Axial view, Slice 43/155, Image width 240 mm
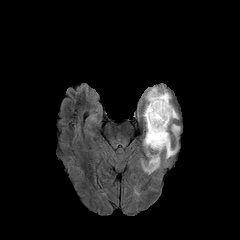
FLAIR MR image.
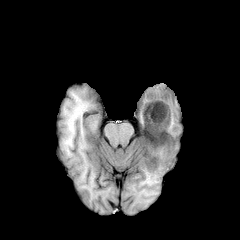
T1-weighted MR image of the same slice.
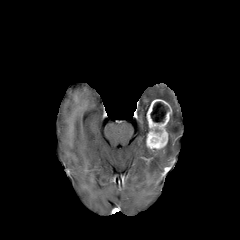
Same slice, post-contrast T1-weighted MR image.
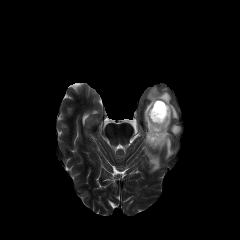
T2-weighted MR image of the same slice.
necrotic tumor core: bounding box (left=150, top=102, right=168, bottom=122)
peritumoral edema: bounding box (left=142, top=86, right=180, bottom=173)
enhancing tumor: bounding box (left=146, top=99, right=172, bottom=150)